240x240 px | Brain | Image covers 240 mm x 240 mm
FLAIR MR.
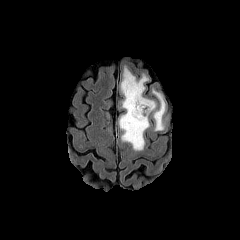
T1-weighted MR.
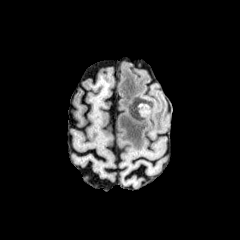
Post-contrast T1-weighted magnetic resonance.
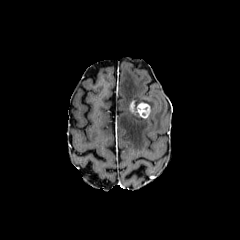
T2-weighted MRI.
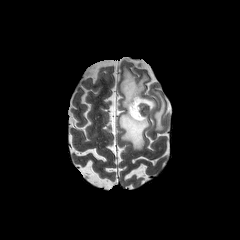
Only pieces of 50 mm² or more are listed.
* enhancing tumor: 129, 100, 140, 117
* peritumoral edema: 119, 67, 155, 150; 153, 90, 165, 130
* necrotic tumor core: 135, 101, 150, 117